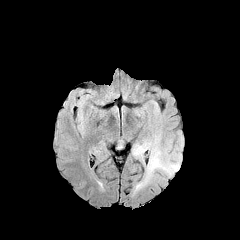
FLAIR MR.
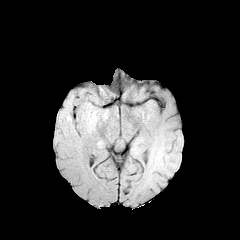
T1-weighted magnetic resonance of the same slice.
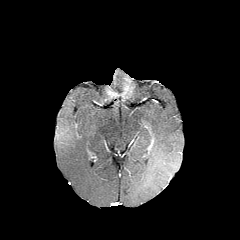
Same slice, post-contrast T1-weighted magnetic resonance.
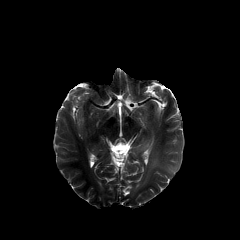
T2-weighted magnetic resonance.
Head, Axial slice
peritumoral edema: 133:90:183:188